Head. 240x240. Slice index 46.
FLAIR MR image.
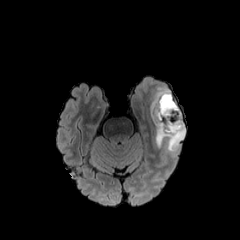
T1-weighted MRI.
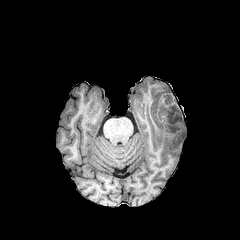
Post-contrast T1-weighted MRI.
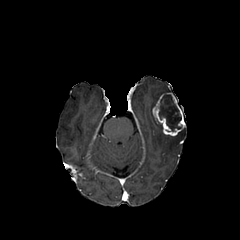
T2-weighted magnetic resonance.
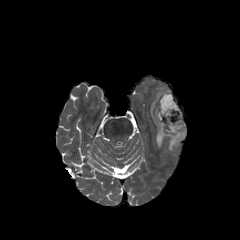
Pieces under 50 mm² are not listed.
necrotic tumor core = rect(159, 94, 181, 131)
peritumoral edema = rect(150, 87, 185, 152)
enhancing tumor = rect(152, 92, 185, 135)